Slice index 66.
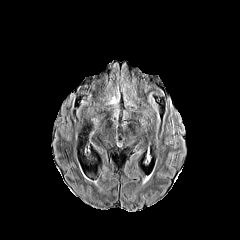
FLAIR MR image.
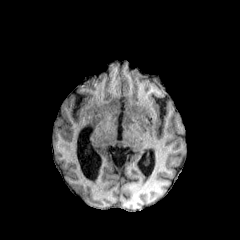
T1-weighted MR.
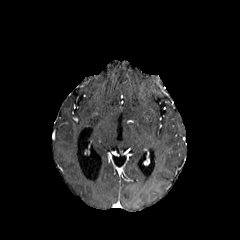
Post-contrast T1-weighted magnetic resonance of the same slice.
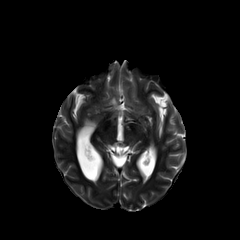
T2-weighted MR.
The peritumoral edema appears at 110, 96, 117, 104.